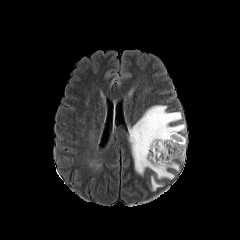
FLAIR MRI.
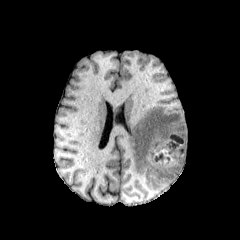
T1-weighted MR.
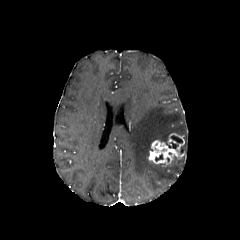
Post-contrast T1-weighted MR.
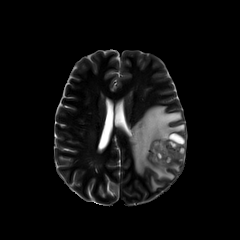
T2-weighted MR.
Head
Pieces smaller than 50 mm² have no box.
enhancing tumor = (left=148, top=133, right=184, bottom=165)
necrotic tumor core = (left=171, top=135, right=182, bottom=142)
peritumoral edema = (left=151, top=176, right=162, bottom=190), (left=129, top=105, right=185, bottom=179)